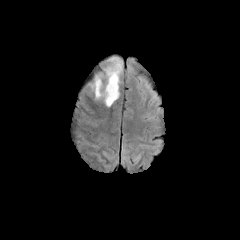
FLAIR magnetic resonance.
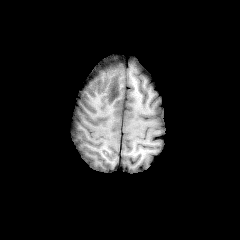
T1-weighted magnetic resonance.
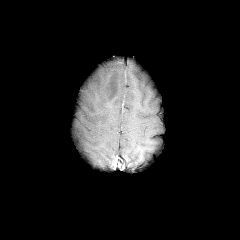
Post-contrast T1-weighted MR image of the same slice.
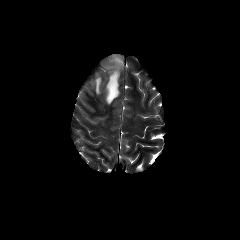
T2-weighted magnetic resonance.
Axial plane, 240x240 px
peritumoral_edema:
  - <bbox>88, 74, 101, 100</bbox>
  - <bbox>103, 57, 122, 107</bbox>